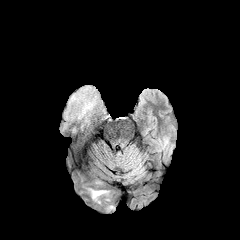
FLAIR MR.
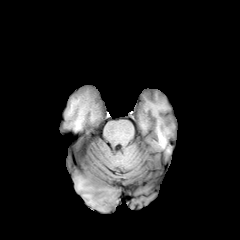
Same slice, T1-weighted MRI.
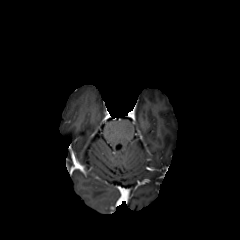
Post-contrast T1-weighted MRI.
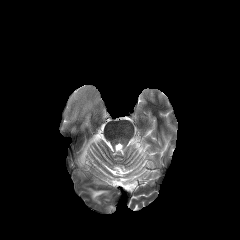
T2-weighted MR image.
Head | Axial slice
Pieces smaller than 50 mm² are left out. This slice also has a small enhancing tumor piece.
peritumoral edema: bounding box 89:189:108:203, 61:85:102:128